FLAIR MR.
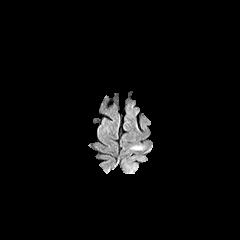
T1-weighted magnetic resonance.
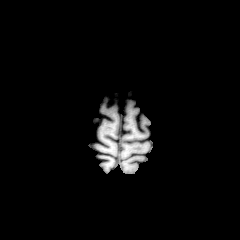
Post-contrast T1-weighted MRI.
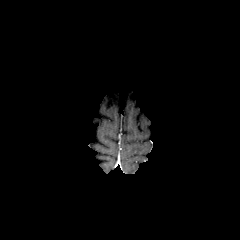
T2-weighted magnetic resonance.
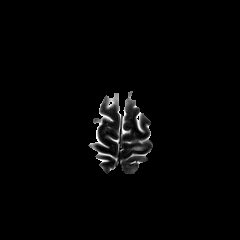
Brain | Axial slice
{
  "peritumoral_edema": [
    "l=130, t=145, r=144, b=150"
  ]
}